Image covers 240 mm x 240 mm. Head.
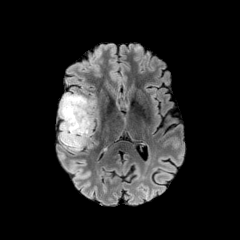
FLAIR MRI.
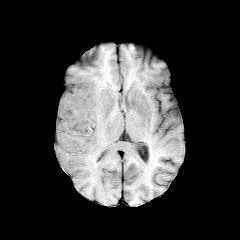
T1-weighted MRI.
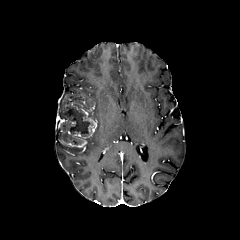
Same slice, post-contrast T1-weighted MRI.
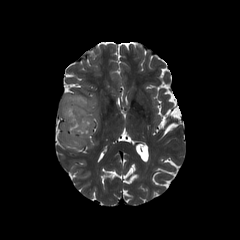
T2-weighted MR.
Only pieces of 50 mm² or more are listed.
peritumoral edema at <bbox>62, 144, 81, 150</bbox>
enhancing tumor at <bbox>58, 94, 97, 148</bbox>
necrotic tumor core at <bbox>63, 107, 90, 144</bbox>